FLAIR MR image.
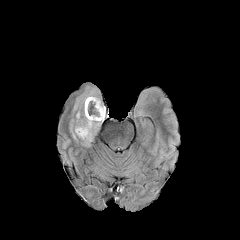
T1-weighted MRI.
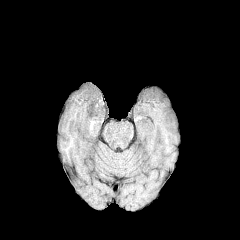
Post-contrast T1-weighted MR.
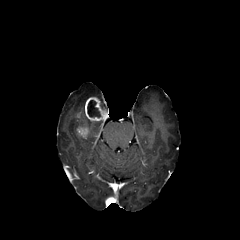
T2-weighted MR image.
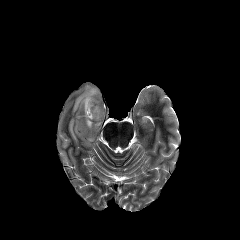
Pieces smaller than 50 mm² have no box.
necrotic tumor core at bbox=[87, 100, 100, 117]
peritumoral edema at bbox=[70, 86, 103, 146]
enhancing tumor at bbox=[76, 124, 89, 138]; bbox=[85, 97, 107, 121]